FLAIR MR image.
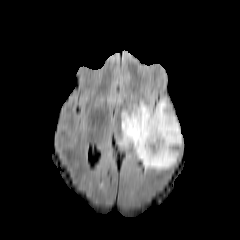
T1-weighted magnetic resonance.
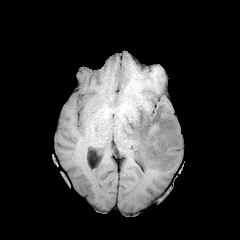
Post-contrast T1-weighted MR image.
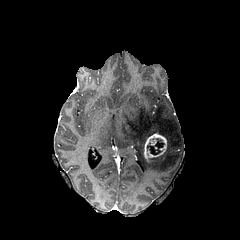
T2-weighted MRI.
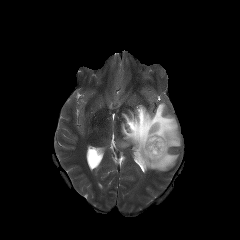
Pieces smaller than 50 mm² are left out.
enhancing tumor: bounding box box=[143, 133, 167, 161]
peritumoral edema: bounding box box=[118, 99, 181, 170]
necrotic tumor core: bounding box box=[147, 138, 164, 154]